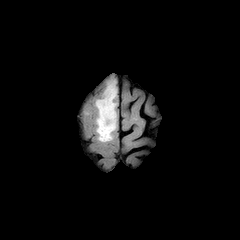
FLAIR MR.
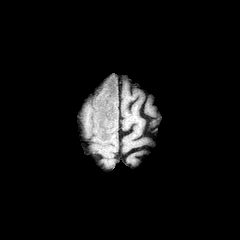
T1-weighted MRI of the same slice.
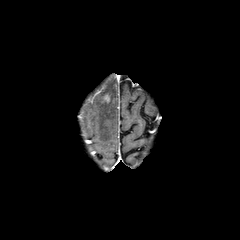
Post-contrast T1-weighted MR of the same slice.
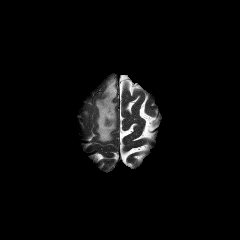
Same slice, T2-weighted MR.
Brain. Axial plane.
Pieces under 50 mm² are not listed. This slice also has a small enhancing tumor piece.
The peritumoral edema is bounded by x1=96, y1=80, x2=116, y2=141.